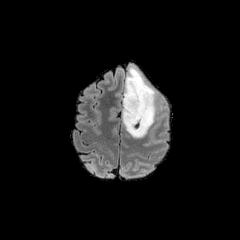
FLAIR MR image.
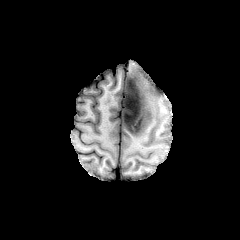
T1-weighted MR image.
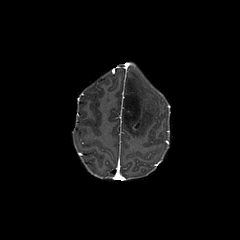
Post-contrast T1-weighted MR image.
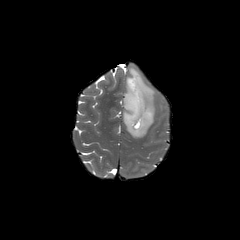
T2-weighted MR of the same slice.
Axial plane; Image size 240x240
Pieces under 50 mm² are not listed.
peritumoral edema: [126,66,155,137] | necrotic tumor core: [123,78,142,134]